FLAIR MRI.
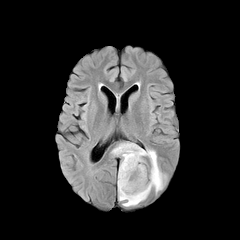
T1-weighted magnetic resonance.
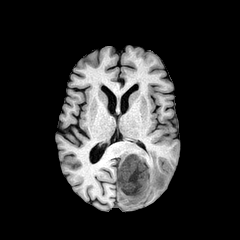
Post-contrast T1-weighted MR image.
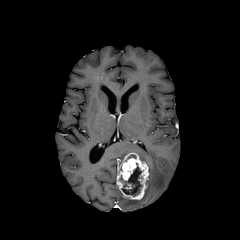
T2-weighted MRI.
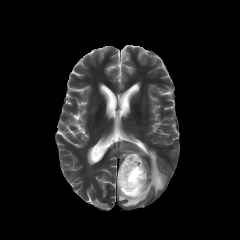
Axial slice
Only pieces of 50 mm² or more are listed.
The largest enhancing tumor region is at (x1=117, y1=152, x2=149, y2=199). The peritumoral edema lies within (x1=113, y1=143, x2=166, y2=206). The largest necrotic tumor core region is located at (x1=122, y1=166, x2=141, y2=195).